FLAIR MR.
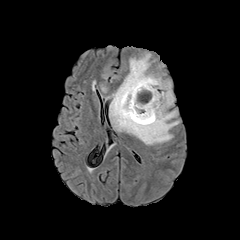
T1-weighted MR image.
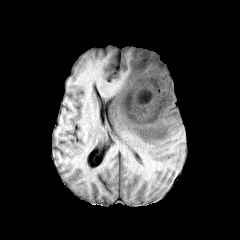
Post-contrast T1-weighted MR.
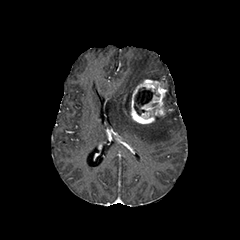
T2-weighted MR image.
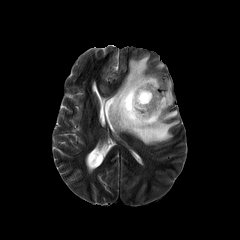
240x240 px
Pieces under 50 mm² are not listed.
enhancing tumor: <bbox>122, 79, 167, 124</bbox>
necrotic tumor core: <bbox>134, 87, 154, 115</bbox>
peritumoral edema: <bbox>107, 53, 179, 145</bbox>